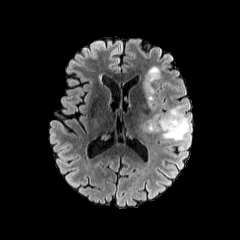
FLAIR magnetic resonance.
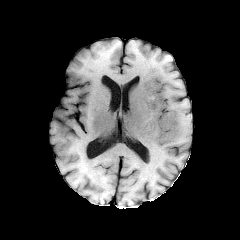
T1-weighted MR image of the same slice.
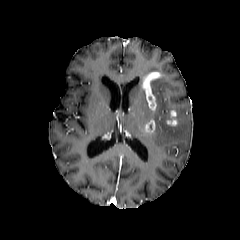
Same slice, post-contrast T1-weighted MR image.
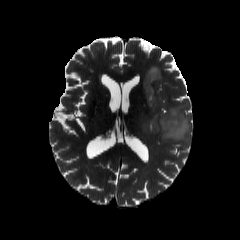
T2-weighted MR image.
Brain.
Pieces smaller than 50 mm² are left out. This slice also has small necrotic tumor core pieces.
3 enhancing tumor regions appear at {"x1": 166, "y1": 110, "x2": 177, "y2": 126}, {"x1": 144, "y1": 119, "x2": 155, "y2": 134}, {"x1": 142, "y1": 72, "x2": 161, "y2": 111}. 2 peritumoral edema regions are bounded by {"x1": 144, "y1": 66, "x2": 160, "y2": 76}, {"x1": 140, "y1": 77, "x2": 191, "y2": 143}.